Head
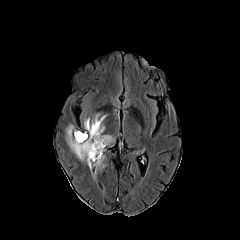
FLAIR magnetic resonance.
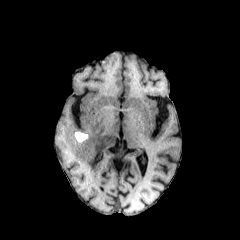
T1-weighted MRI.
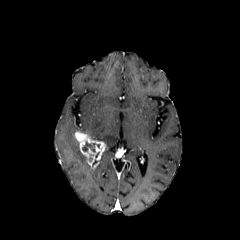
Post-contrast T1-weighted MRI.
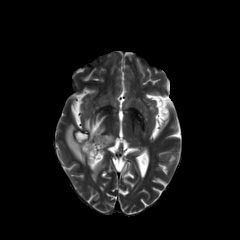
T2-weighted MR of the same slice.
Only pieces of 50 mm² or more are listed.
necrotic tumor core = x1=82, y1=141, x2=95, y2=152
peritumoral edema = x1=66, y1=125, x2=86, y2=163; x1=84, y1=113, x2=115, y2=144; x1=92, y1=155, x2=104, y2=180
enhancing tumor = x1=79, y1=134, x2=106, y2=167